FLAIR MR.
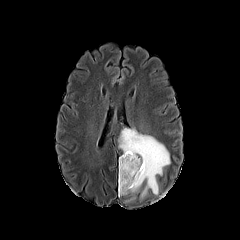
T1-weighted MR image.
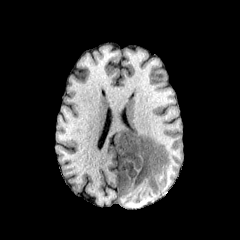
Post-contrast T1-weighted magnetic resonance.
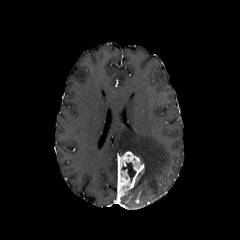
T2-weighted magnetic resonance.
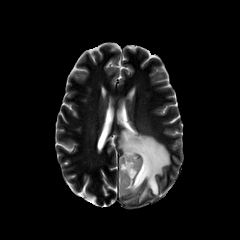
240x240, Brain, Axial view
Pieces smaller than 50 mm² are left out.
The peritumoral edema appears at box(118, 128, 170, 197). The enhancing tumor appears at box(117, 151, 144, 196). The largest necrotic tumor core region is located at box(121, 162, 135, 182).